Brain. Slice 137 of 155.
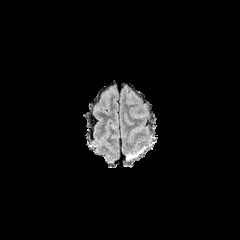
FLAIR MRI.
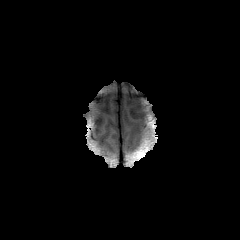
Same slice, T1-weighted magnetic resonance.
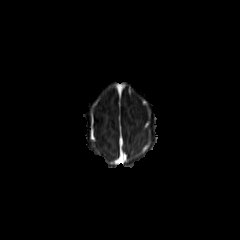
Post-contrast T1-weighted MR image of the same slice.
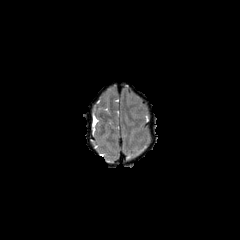
T2-weighted MR.
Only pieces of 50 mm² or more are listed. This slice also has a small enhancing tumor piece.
peritumoral edema — left=127, top=147, right=143, bottom=159